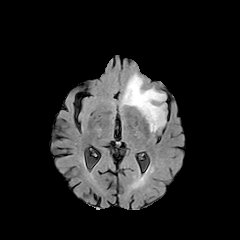
FLAIR MR.
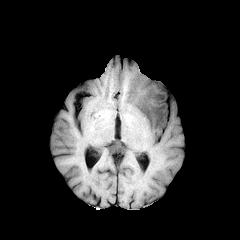
T1-weighted magnetic resonance of the same slice.
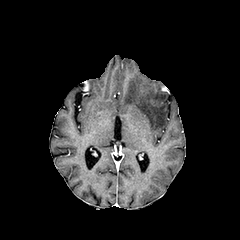
Post-contrast T1-weighted MRI.
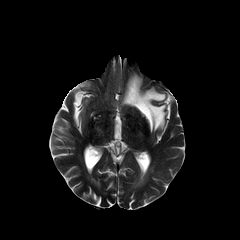
T2-weighted MR image.
Image size 240x240
peritumoral edema — {"x1": 122, "y1": 74, "x2": 165, "y2": 131}